Axial slice; 240x240 px; Image width 240 mm; Brain
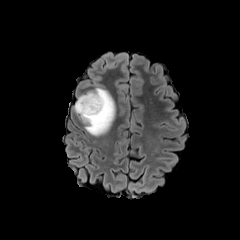
FLAIR magnetic resonance.
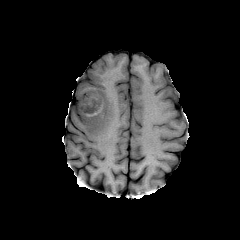
T1-weighted MR.
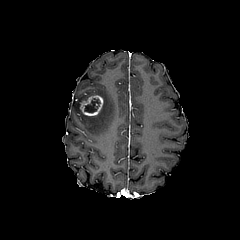
Post-contrast T1-weighted MR image of the same slice.
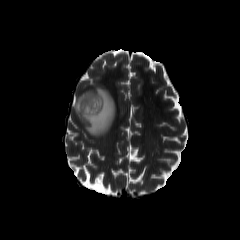
T2-weighted magnetic resonance of the same slice.
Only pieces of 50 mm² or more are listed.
necrotic_tumor_core:
  - 84,98,99,112
peritumoral_edema:
  - 74,87,115,136
enhancing_tumor:
  - 80,95,103,116